FLAIR magnetic resonance.
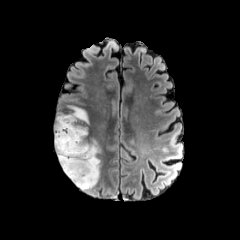
T1-weighted MR image.
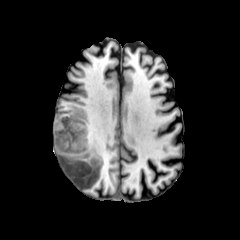
Post-contrast T1-weighted MR.
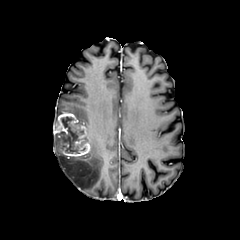
T2-weighted MR.
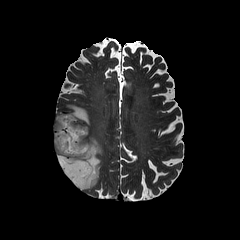
Axial plane
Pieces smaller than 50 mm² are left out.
Annotated regions:
• peritumoral edema: box=[54, 132, 101, 190]; box=[54, 105, 91, 131]
• necrotic tumor core: box=[57, 115, 83, 153]
• enhancing tumor: box=[53, 113, 91, 156]